Axial view; Image covers 240 mm x 240 mm
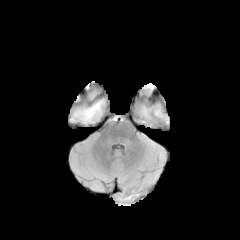
FLAIR MRI.
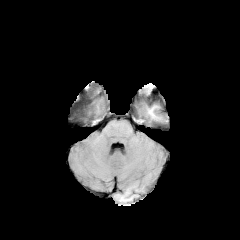
T1-weighted MRI.
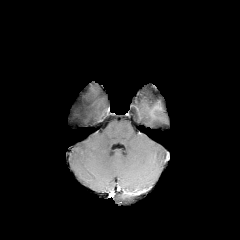
Post-contrast T1-weighted MRI.
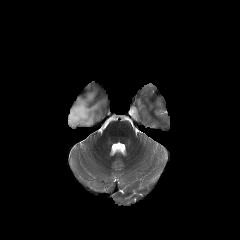
T2-weighted MR.
The peritumoral edema lies within (68, 82, 106, 124).